Axial view. Slice index 48. Image width 240 mm.
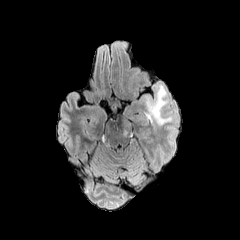
FLAIR MR.
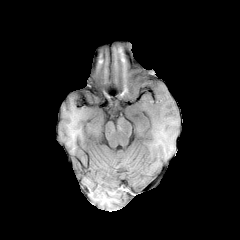
T1-weighted MR of the same slice.
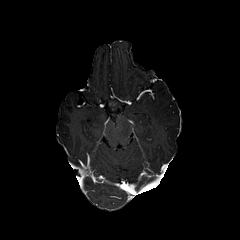
Post-contrast T1-weighted magnetic resonance of the same slice.
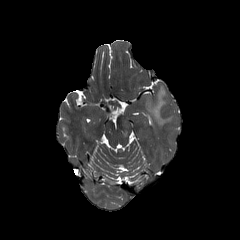
T2-weighted MR.
peritumoral edema: box(123, 117, 130, 135); box(146, 85, 170, 125)